FLAIR MR image.
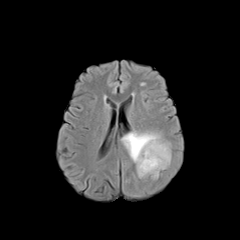
T1-weighted magnetic resonance.
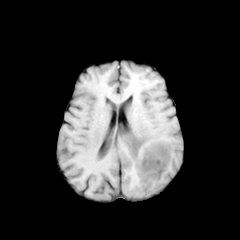
Post-contrast T1-weighted MR.
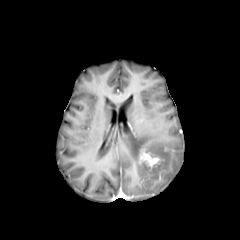
T2-weighted MR.
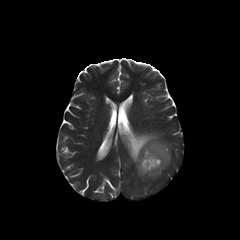
Head.
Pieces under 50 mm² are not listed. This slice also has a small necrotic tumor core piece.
enhancing tumor — 140,148,162,171
peritumoral edema — 121,131,171,178